Slice 39 of 155. Image size 240x240.
FLAIR MR.
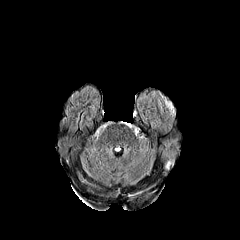
T1-weighted MR.
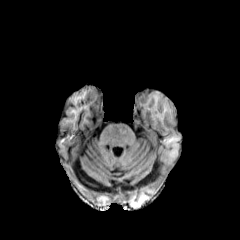
Post-contrast T1-weighted MR.
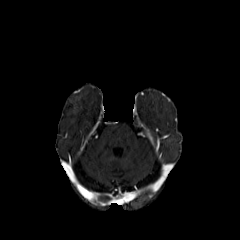
T2-weighted magnetic resonance.
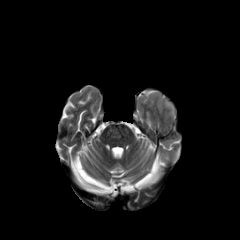
Annotated regions:
* peritumoral edema: bbox=[164, 98, 174, 116]